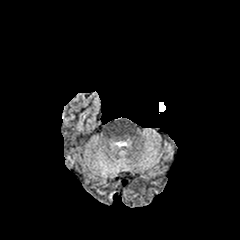
FLAIR MRI.
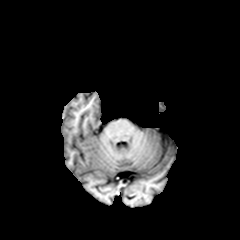
Same slice, T1-weighted MR image.
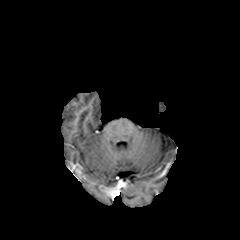
Post-contrast T1-weighted MRI of the same slice.
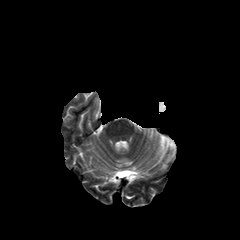
T2-weighted magnetic resonance.
Brain.
The peritumoral edema is located at 159, 102, 165, 111.